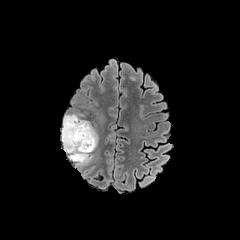
FLAIR MRI.
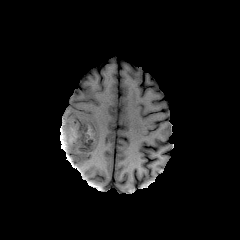
T1-weighted magnetic resonance.
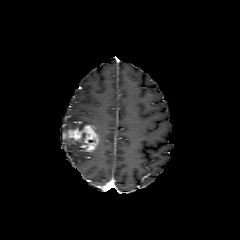
Post-contrast T1-weighted MR.
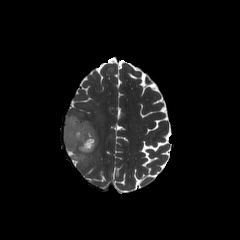
T2-weighted MRI of the same slice.
Brain
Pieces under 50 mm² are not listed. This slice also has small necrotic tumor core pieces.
The largest enhancing tumor region is located at <bbox>63, 124, 98, 151</bbox>. The peritumoral edema lies within <bbox>62, 114, 93, 166</bbox>.